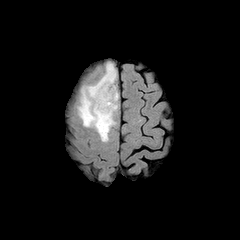
FLAIR magnetic resonance.
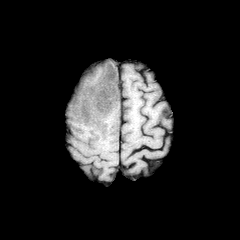
Same slice, T1-weighted MR image.
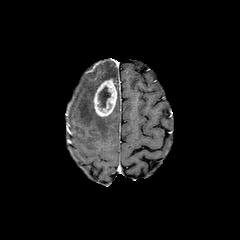
Post-contrast T1-weighted MR image.
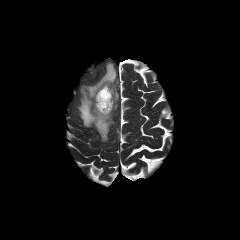
T2-weighted MRI of the same slice.
Image size 240x240 | Head
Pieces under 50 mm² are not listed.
The largest peritumoral edema region is located at (left=78, top=62, right=116, bottom=141). The enhancing tumor is bounded by (left=93, top=79, right=117, bottom=116). The necrotic tumor core is at (left=98, top=87, right=110, bottom=107).